FLAIR MR image.
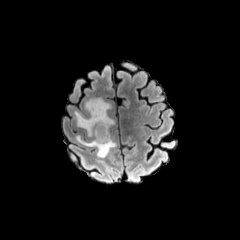
T1-weighted magnetic resonance.
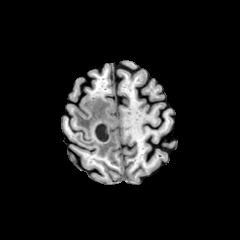
Post-contrast T1-weighted MR image.
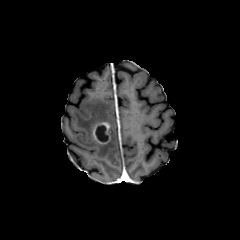
T2-weighted MRI.
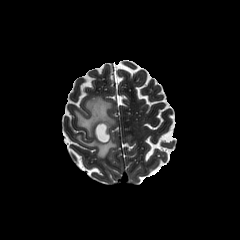
240x240. Brain.
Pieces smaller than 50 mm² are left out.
enhancing_tumor:
  - x1=93 y1=122 x2=109 y2=144
peritumoral_edema:
  - x1=74 y1=97 x2=116 y2=157
necrotic_tumor_core:
  - x1=95 y1=125 x2=108 y2=142